FLAIR magnetic resonance.
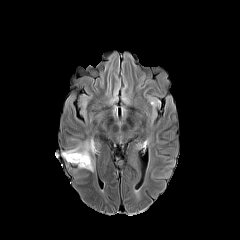
T1-weighted MRI.
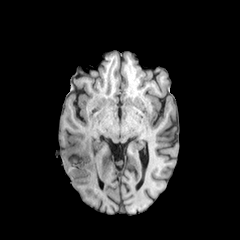
Post-contrast T1-weighted MR.
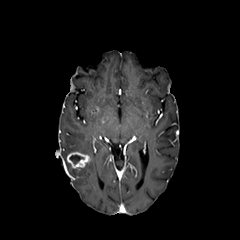
T2-weighted MR.
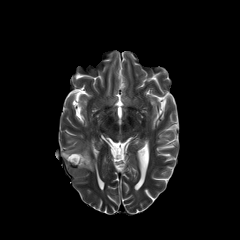
The enhancing tumor is located at box(67, 152, 91, 168). 2 peritumoral edema regions are bounded by box(84, 161, 93, 170); box(62, 141, 92, 159). The necrotic tumor core is at box(70, 155, 83, 163).